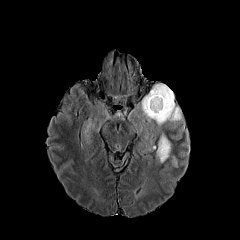
FLAIR MR.
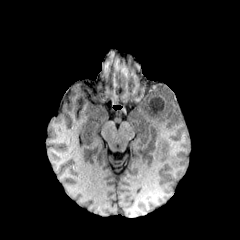
Same slice, T1-weighted MR image.
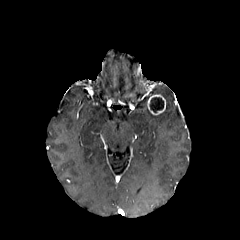
Post-contrast T1-weighted MR.
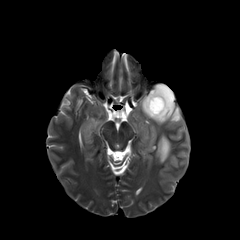
Same slice, T2-weighted MR.
Axial plane. Brain.
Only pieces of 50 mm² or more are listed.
{"peritumoral_edema": ["(156, 134, 171, 162)", "(141, 84, 181, 125)"], "enhancing_tumor": ["(147, 94, 165, 115)"], "necrotic_tumor_core": ["(149, 97, 163, 112)"]}